Image width 240 mm, 1.00 mm slice spacing | Slice index 49 | Head
FLAIR MRI.
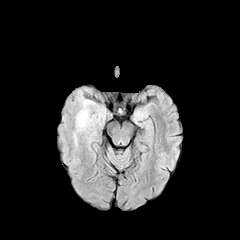
T1-weighted MR image.
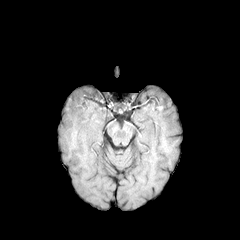
Post-contrast T1-weighted MR.
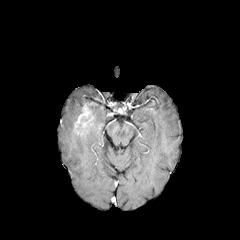
T2-weighted magnetic resonance.
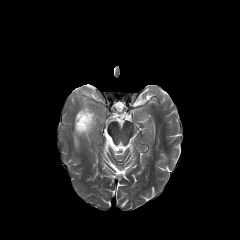
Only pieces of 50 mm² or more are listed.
<segmentation>
  <peritumoral_edema><bbox>82, 114, 94, 134</bbox></peritumoral_edema>
  <enhancing_tumor><bbox>75, 106, 93, 134</bbox></enhancing_tumor>
</segmentation>